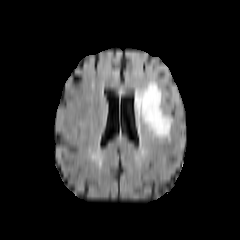
FLAIR MR image.
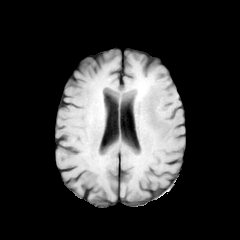
T1-weighted magnetic resonance of the same slice.
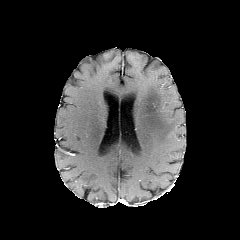
Post-contrast T1-weighted MR.
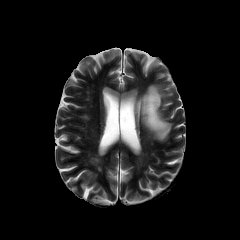
T2-weighted MR image.
Image size 240x240. Brain.
The peritumoral edema is located at [137,82,171,140].